Slice 54/155. Head.
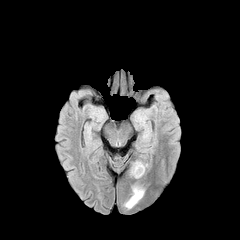
FLAIR MRI.
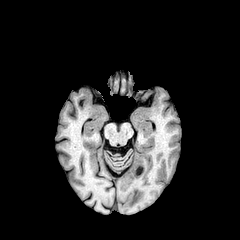
T1-weighted MR image of the same slice.
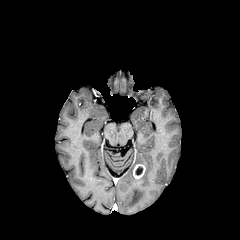
Same slice, post-contrast T1-weighted MR.
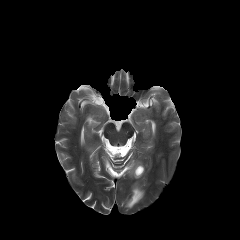
T2-weighted MRI.
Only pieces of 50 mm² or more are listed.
{"enhancing_tumor": ["rect(133, 164, 145, 178)"], "peritumoral_edema": ["rect(125, 186, 144, 208)"], "necrotic_tumor_core": ["rect(136, 166, 142, 175)"]}